FLAIR MR image.
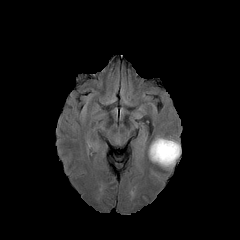
T1-weighted magnetic resonance.
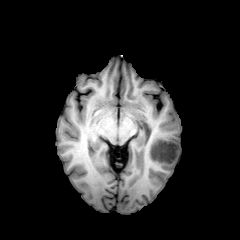
Post-contrast T1-weighted MR.
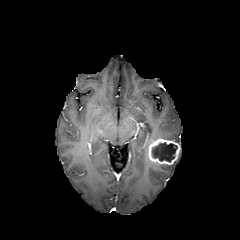
T2-weighted MR image.
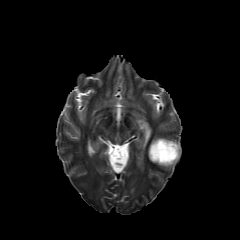
Axial slice
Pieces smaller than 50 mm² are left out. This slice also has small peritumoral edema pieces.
enhancing_tumor:
  - bbox=[148, 139, 180, 164]
necrotic_tumor_core:
  - bbox=[152, 142, 177, 161]